Image width 240 mm, 1.00 mm slice spacing; 240x240 px
FLAIR MR.
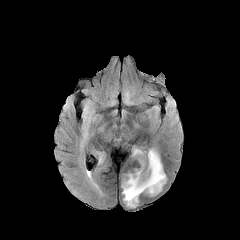
T1-weighted MR image.
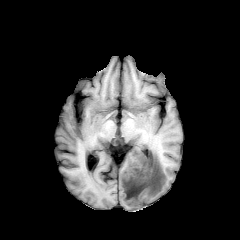
Post-contrast T1-weighted MRI.
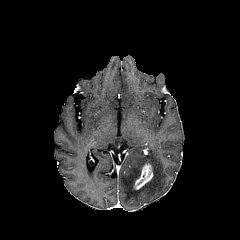
T2-weighted magnetic resonance.
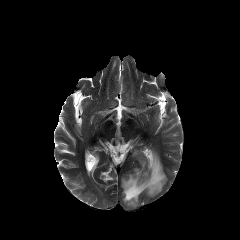
The enhancing tumor is located at [133,163,153,189]. 2 peritumoral edema regions are bounded by [133,148,142,156], [122,149,166,207].